FLAIR MR image.
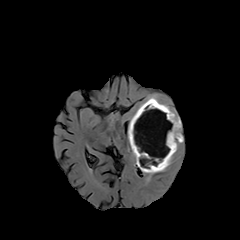
T1-weighted MR.
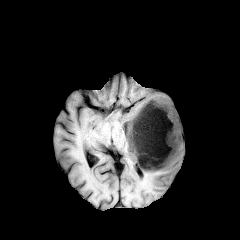
Post-contrast T1-weighted MR image.
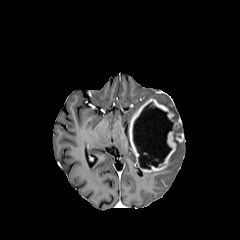
T2-weighted MRI.
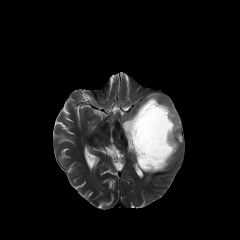
Brain.
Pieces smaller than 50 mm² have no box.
The necrotic tumor core is at l=133, t=102, r=173, b=169. The largest peritumoral edema region is at l=128, t=94, r=179, b=122. The enhancing tumor lies within l=128, t=98, r=183, b=172.